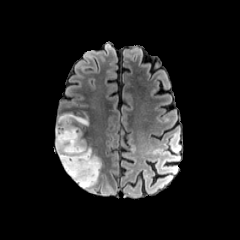
FLAIR MRI.
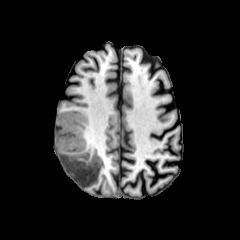
T1-weighted magnetic resonance.
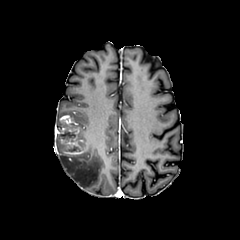
Same slice, post-contrast T1-weighted magnetic resonance.
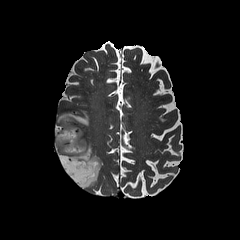
T2-weighted MR.
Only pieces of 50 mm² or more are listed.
Findings:
• enhancing tumor: bbox=[55, 115, 88, 155]
• peritumoral edema: bbox=[55, 109, 101, 188]
• necrotic tumor core: bbox=[59, 130, 77, 139]; bbox=[66, 146, 80, 151]